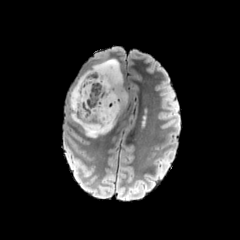
FLAIR MR image.
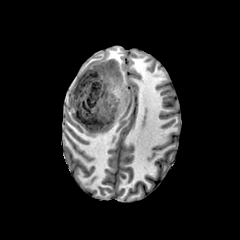
T1-weighted MR of the same slice.
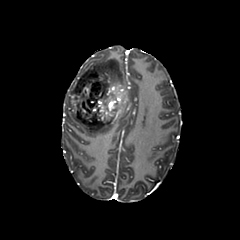
Post-contrast T1-weighted magnetic resonance of the same slice.
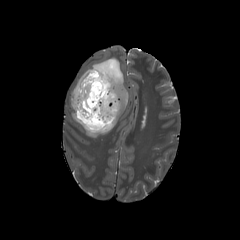
Same slice, T2-weighted MR image.
Axial view, Brain
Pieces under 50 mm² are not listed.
peritumoral edema: 71 59 123 95, 71 111 119 137 | necrotic tumor core: 76 72 106 123 | enhancing tumor: 71 70 97 115, 82 73 127 125, 82 83 91 98